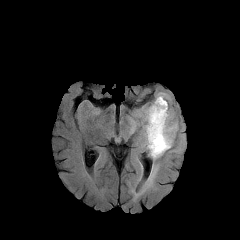
FLAIR magnetic resonance.
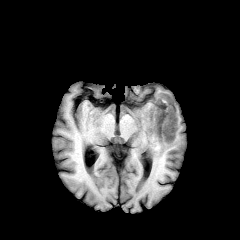
T1-weighted MR of the same slice.
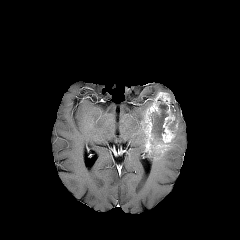
Post-contrast T1-weighted MR image.
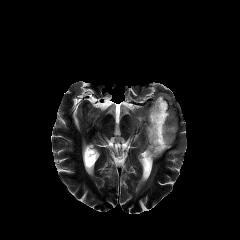
Same slice, T2-weighted MR.
Brain | Axial view
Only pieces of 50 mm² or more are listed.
enhancing tumor: l=144, t=92, r=177, b=156 | necrotic tumor core: l=151, t=99, r=168, b=142 | peritumoral edema: l=137, t=105, r=148, b=149; l=131, t=121, r=138, b=131; l=147, t=153, r=163, b=186; l=169, t=97, r=178, b=148